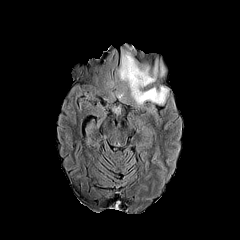
FLAIR MR image.
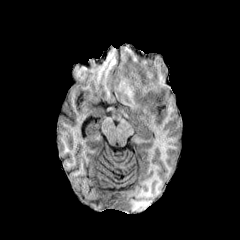
T1-weighted MR.
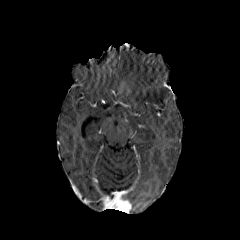
Post-contrast T1-weighted MR of the same slice.
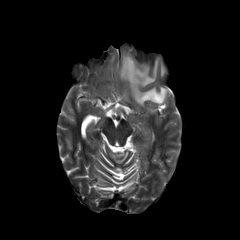
T2-weighted MR of the same slice.
Brain.
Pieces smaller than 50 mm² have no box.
The 2 largest peritumoral edema regions appear at rect(119, 46, 169, 108); rect(159, 57, 166, 78).